Image covers 240 mm x 240 mm, Slice 115/155, Axial slice
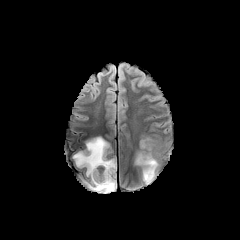
FLAIR magnetic resonance.
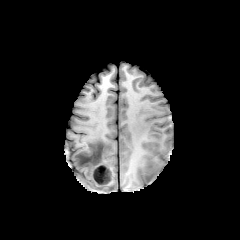
T1-weighted MR.
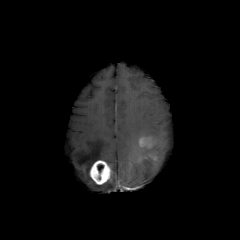
Post-contrast T1-weighted MR of the same slice.
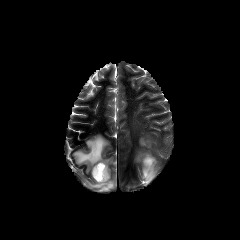
T2-weighted magnetic resonance.
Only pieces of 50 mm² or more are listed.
3 enhancing tumor regions appear at [140,138,151,147], [138,155,155,172], [89,160,111,184]. The largest necrotic tumor core region appears at [143,157,152,169]. The 3 largest peritumoral edema regions are bounded by [73,136,116,193], [142,158,158,184], [135,152,155,164].